Brain | 240x240 | Slice index 65 | Axial plane
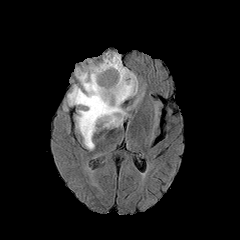
FLAIR MRI.
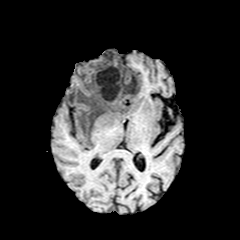
T1-weighted MR image of the same slice.
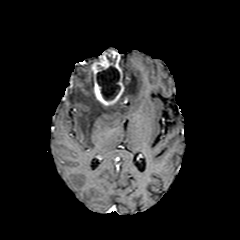
Post-contrast T1-weighted MR image.
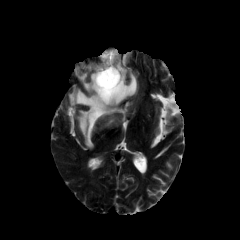
T2-weighted magnetic resonance.
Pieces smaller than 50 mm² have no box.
<segmentation>
  <peritumoral_edema>(x1=68, y1=60, x2=137, y2=149)</peritumoral_edema>
  <enhancing_tumor>(x1=90, y1=50, x2=124, y2=106)</enhancing_tumor>
  <necrotic_tumor_core>(x1=96, y1=66, x2=120, y2=100)</necrotic_tumor_core>
</segmentation>